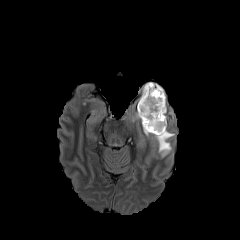
FLAIR magnetic resonance.
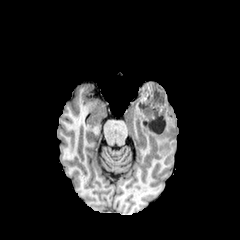
T1-weighted MR.
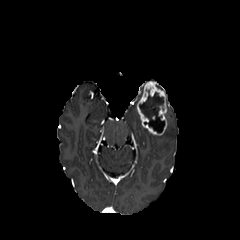
Same slice, post-contrast T1-weighted MRI.
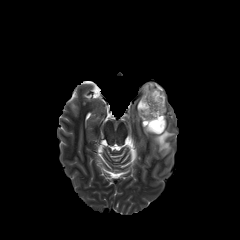
T2-weighted MRI.
240x240.
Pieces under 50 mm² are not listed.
necrotic tumor core: bounding box box(139, 90, 164, 132)
peritumoral edema: bounding box box(125, 103, 139, 122); box(143, 128, 175, 157)
enhancing tumor: bounding box box(137, 81, 167, 135)